Head; Slice 65/155
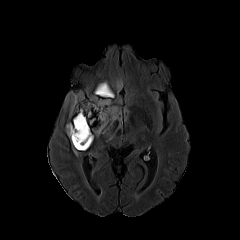
FLAIR MRI.
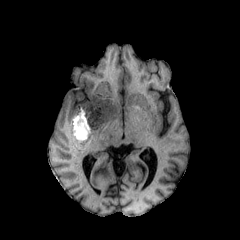
T1-weighted MRI.
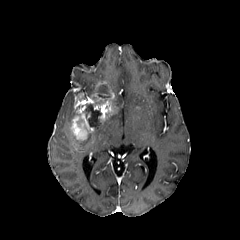
Post-contrast T1-weighted MR of the same slice.
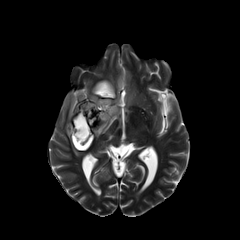
T2-weighted MRI.
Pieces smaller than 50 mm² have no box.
The 3 largest necrotic tumor core regions are located at 96 85 110 98, 83 104 101 127, 73 133 91 148. The largest enhancing tumor region lies within 70 81 117 149. The 4 largest peritumoral edema regions appear at 64 92 77 117, 93 108 121 136, 110 80 122 92, 66 123 88 156.